Axial plane | Image covers 240 mm x 240 mm
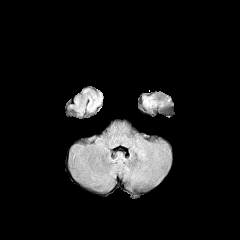
FLAIR MR.
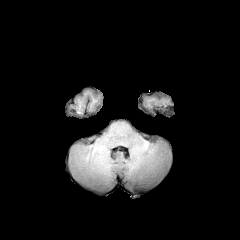
Same slice, T1-weighted MR.
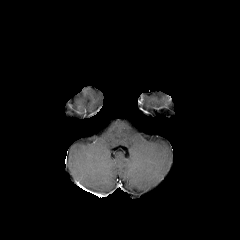
Same slice, post-contrast T1-weighted magnetic resonance.
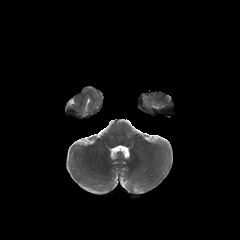
T2-weighted MR image of the same slice.
peritumoral edema = box(142, 95, 156, 108)